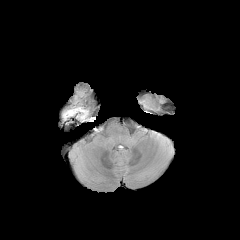
FLAIR MR.
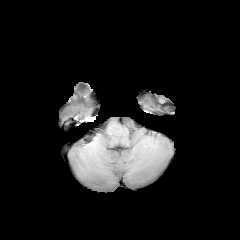
T1-weighted MR image of the same slice.
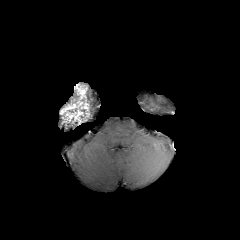
Same slice, post-contrast T1-weighted magnetic resonance.
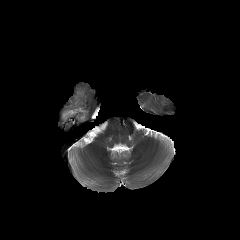
T2-weighted MR image of the same slice.
Axial view | Image size 240x240 | Brain
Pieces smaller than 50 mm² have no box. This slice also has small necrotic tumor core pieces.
enhancing tumor at (61,85,89,123)